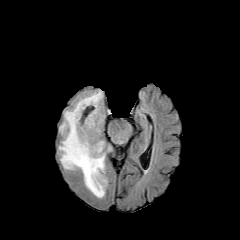
FLAIR MRI.
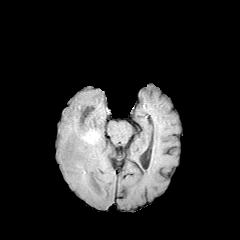
T1-weighted MRI.
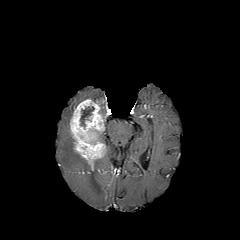
Same slice, post-contrast T1-weighted MR image.
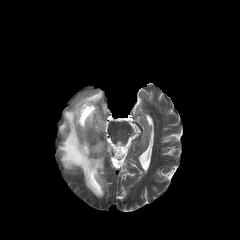
T2-weighted MR of the same slice.
Brain | 240x240 px
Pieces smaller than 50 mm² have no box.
enhancing tumor: region(70, 99, 105, 169) | necrotic tumor core: region(80, 106, 94, 126) | peritumoral edema: region(58, 90, 111, 198)